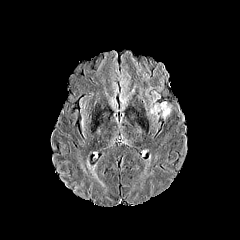
FLAIR MRI.
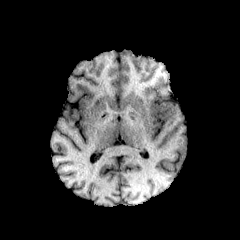
T1-weighted MR of the same slice.
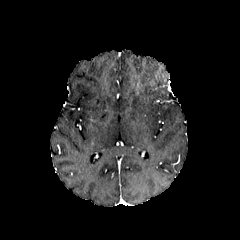
Post-contrast T1-weighted magnetic resonance.
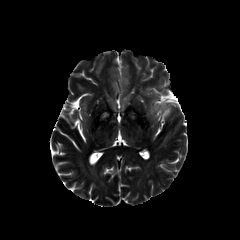
Same slice, T2-weighted magnetic resonance.
Head
peritumoral edema: left=150, top=102, right=170, bottom=117